Image width 240 mm, 240x240 px, Slice index 75, Axial view
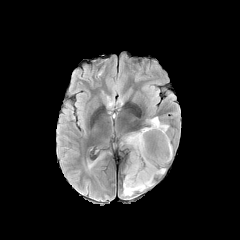
FLAIR MR.
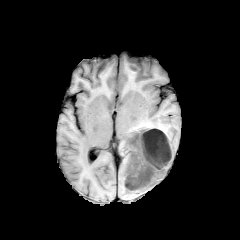
T1-weighted magnetic resonance of the same slice.
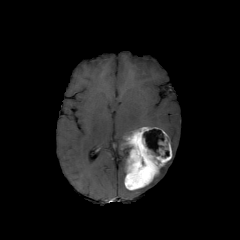
Post-contrast T1-weighted MR.
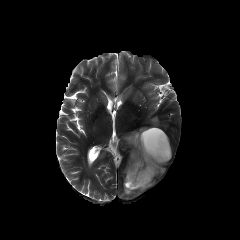
T2-weighted magnetic resonance.
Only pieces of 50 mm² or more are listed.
peritumoral_edema:
  - 149 117 168 131
  - 123 181 153 196
enhancing_tumor:
  - 124 127 171 190
necrotic_tumor_core:
  - 143 129 164 155